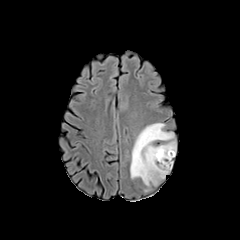
FLAIR MR image.
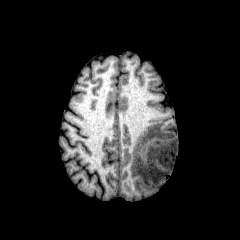
T1-weighted MR image of the same slice.
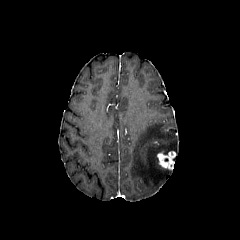
Post-contrast T1-weighted MRI.
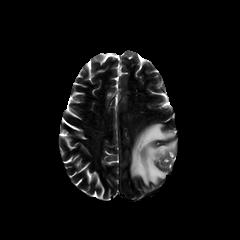
T2-weighted MR image.
Axial plane; Brain
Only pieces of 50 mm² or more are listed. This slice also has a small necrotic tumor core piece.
The enhancing tumor is located at x1=157 y1=151 x2=175 y2=169. The largest peritumoral edema region is bounded by x1=130 y1=123 x2=176 y2=186.